Head | 240x240 px | Axial view
FLAIR MR.
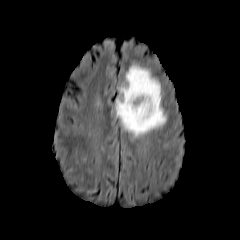
T1-weighted MR image.
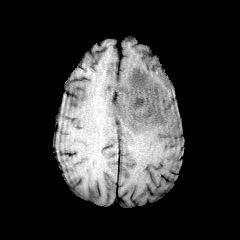
Post-contrast T1-weighted MR.
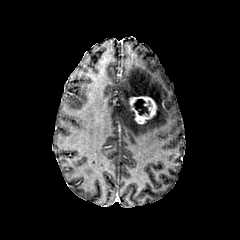
T2-weighted MR image.
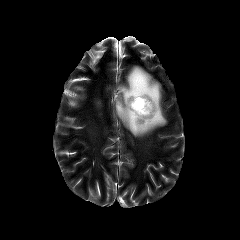
enhancing_tumor:
  - {"x1": 129, "y1": 96, "x2": 157, "y2": 124}
peritumoral_edema:
  - {"x1": 115, "y1": 64, "x2": 166, "y2": 136}
necrotic_tumor_core:
  - {"x1": 133, "y1": 99, "x2": 149, "y2": 115}